FLAIR MRI.
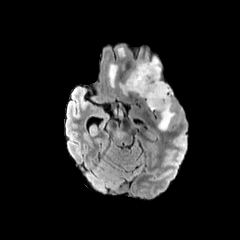
T1-weighted magnetic resonance.
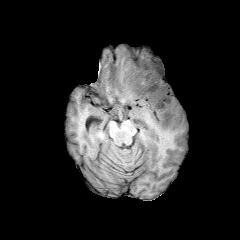
Post-contrast T1-weighted MR.
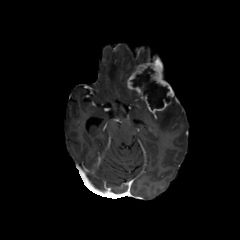
T2-weighted magnetic resonance.
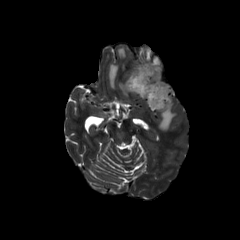
240x240 | Axial view
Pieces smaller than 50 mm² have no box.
The necrotic tumor core is located at (131,67,170,109). The 4 largest peritumoral edema regions appear at (118,47,125,58), (119,55,157,95), (156,99,175,130), (108,63,118,87). The largest enhancing tumor region is bounded by (127,59,175,112).